FLAIR MR image.
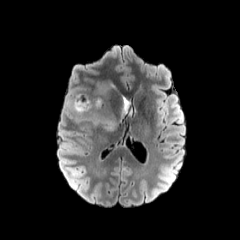
T1-weighted MR image.
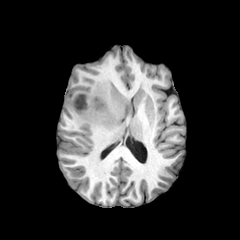
Post-contrast T1-weighted MRI.
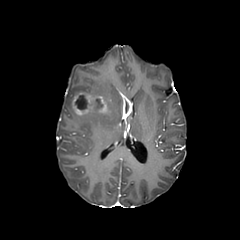
T2-weighted MR image.
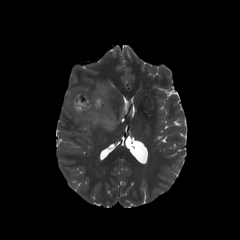
Axial slice | Image size 240x240 | Brain
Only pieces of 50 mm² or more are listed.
enhancing tumor at 72 93 107 115, 120 93 131 118
necrotic tumor core at 94 99 102 109, 75 95 88 109
peritumoral edema at 80 79 118 130